Axial plane, Head
FLAIR MR.
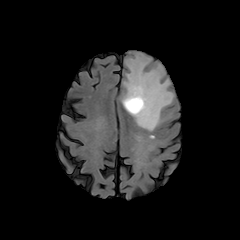
T1-weighted MRI.
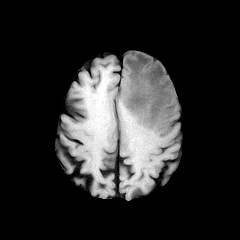
Post-contrast T1-weighted MRI.
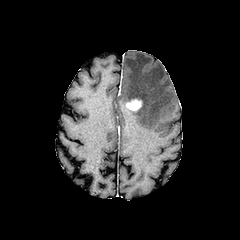
T2-weighted MR.
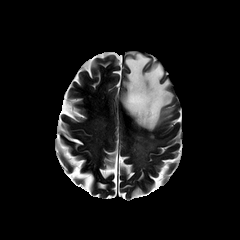
peritumoral edema: bounding box bbox=[122, 52, 173, 130]
enhancing tumor: bounding box bbox=[125, 99, 142, 111]